Axial plane, Image width 240 mm, 1.00 mm slice spacing, Head, Image size 240x240
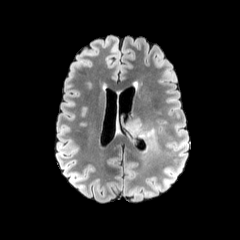
FLAIR MRI.
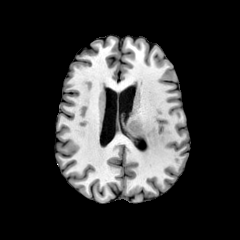
T1-weighted MR of the same slice.
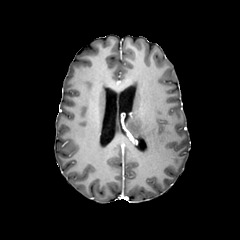
Post-contrast T1-weighted MRI.
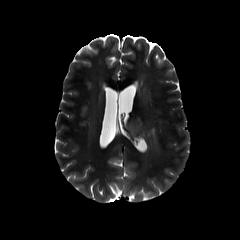
Same slice, T2-weighted MRI.
peritumoral_edema:
  - [x1=125, y1=118, x2=158, y2=154]